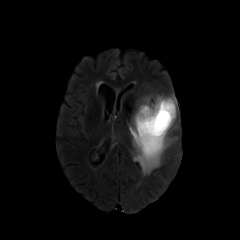
FLAIR MR.
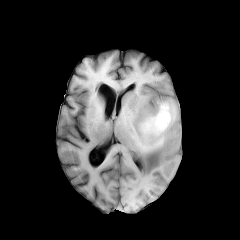
T1-weighted MRI of the same slice.
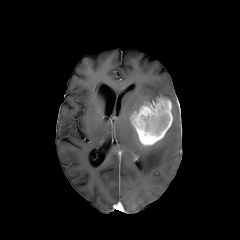
Post-contrast T1-weighted MR image of the same slice.
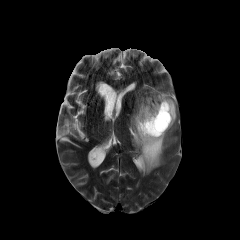
Same slice, T2-weighted MRI.
Axial plane | Brain
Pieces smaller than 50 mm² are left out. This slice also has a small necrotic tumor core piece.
The enhancing tumor is bounded by bbox(131, 96, 172, 145). 2 peritumoral edema regions are located at bbox(135, 96, 152, 111); bbox(129, 93, 178, 175).